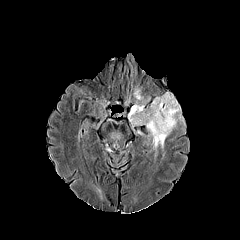
FLAIR MRI.
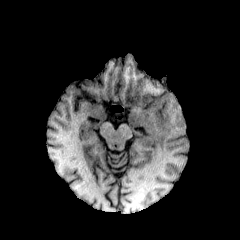
T1-weighted MR.
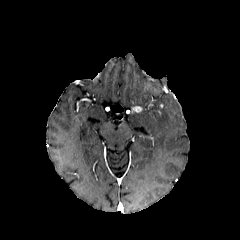
Post-contrast T1-weighted MR image of the same slice.
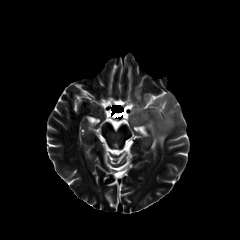
T2-weighted MR image.
Axial plane
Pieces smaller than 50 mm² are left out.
peritumoral edema — (left=131, top=94, right=180, bottom=148), (left=134, top=89, right=141, bottom=99)
enhancing tumor — (left=132, top=106, right=142, bottom=112)